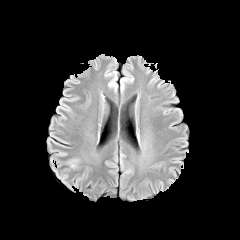
FLAIR MR image.
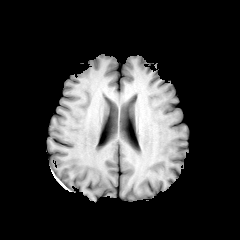
T1-weighted MR of the same slice.
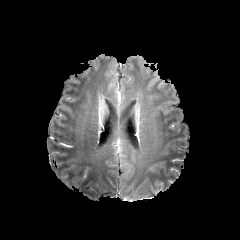
Post-contrast T1-weighted MRI.
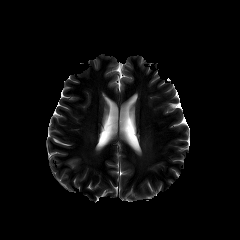
T2-weighted MRI.
Head
The peritumoral edema is located at [65,159,78,169].